Slice 32/155. 240x240 px. Axial view.
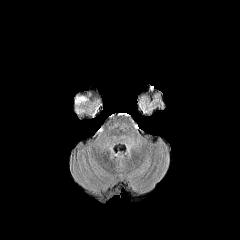
FLAIR MR image.
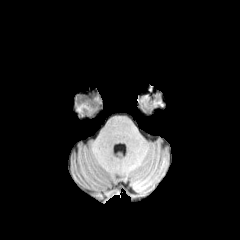
Same slice, T1-weighted MRI.
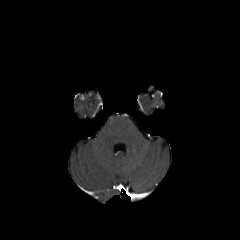
Same slice, post-contrast T1-weighted magnetic resonance.
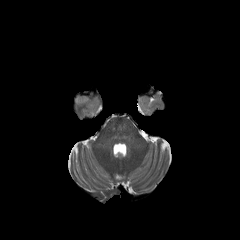
T2-weighted MR image of the same slice.
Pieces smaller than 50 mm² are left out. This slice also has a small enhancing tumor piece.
peritumoral edema: box=[74, 94, 87, 104]